FLAIR MR image.
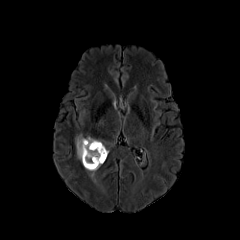
T1-weighted magnetic resonance.
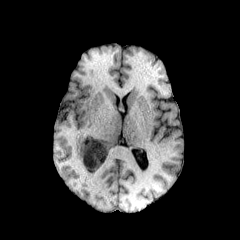
Post-contrast T1-weighted MR.
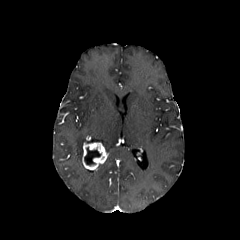
T2-weighted MR.
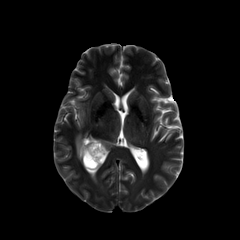
Axial plane.
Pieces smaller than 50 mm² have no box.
enhancing tumor: (82,142,107,169) | necrotic tumor core: (84,147,101,165) | peritumoral edema: (75,134,101,161)